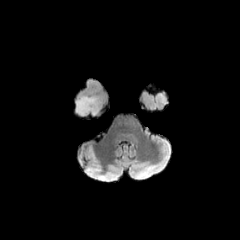
FLAIR magnetic resonance.
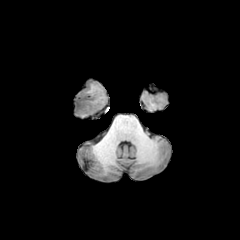
T1-weighted MRI.
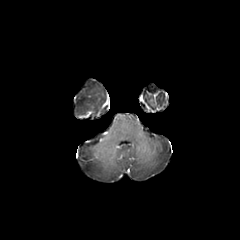
Post-contrast T1-weighted MR.
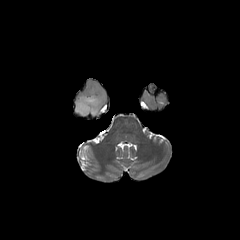
T2-weighted magnetic resonance.
Head. Image size 240x240.
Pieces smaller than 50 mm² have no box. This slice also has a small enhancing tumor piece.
peritumoral edema: box(76, 95, 101, 115)